FLAIR magnetic resonance.
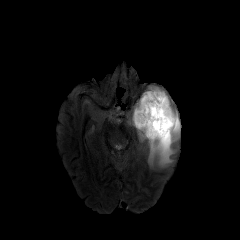
T1-weighted MR.
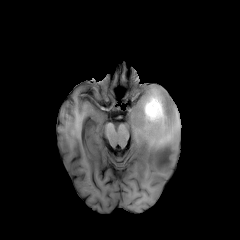
Post-contrast T1-weighted MR image.
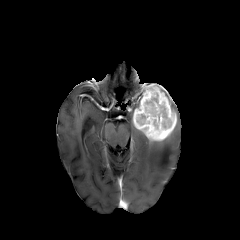
T2-weighted magnetic resonance.
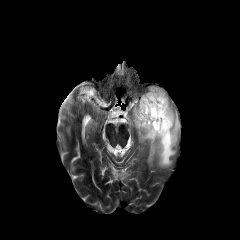
Axial slice, Head
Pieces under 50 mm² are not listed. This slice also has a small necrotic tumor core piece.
enhancing tumor: bbox(132, 84, 177, 140) | peritumoral edema: bbox(136, 101, 180, 167)